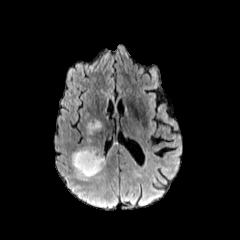
FLAIR MR.
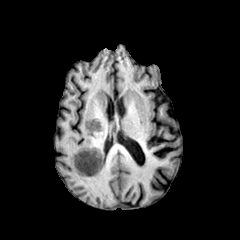
Same slice, T1-weighted MR.
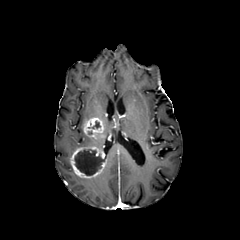
Post-contrast T1-weighted MR.
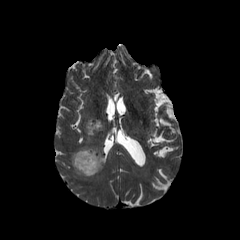
Same slice, T2-weighted MRI.
Brain
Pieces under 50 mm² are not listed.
2 enhancing tumor regions are located at bbox=[70, 145, 106, 178]; bbox=[83, 117, 104, 137]. The largest peritumoral edema region is at bbox=[73, 170, 103, 182]. The largest necrotic tumor core region lies within bbox=[74, 149, 104, 175].